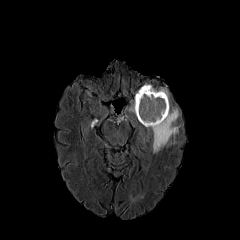
FLAIR MR image.
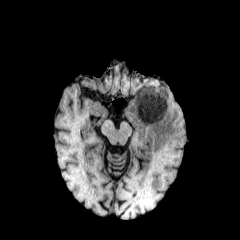
T1-weighted magnetic resonance.
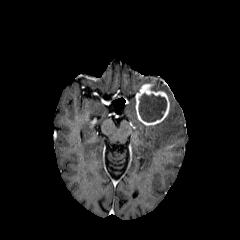
Post-contrast T1-weighted magnetic resonance of the same slice.
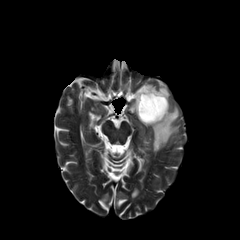
T2-weighted MRI.
Image size 240x240
The enhancing tumor is located at x1=135 y1=84 x2=169 y2=125. 3 peritumoral edema regions appear at x1=145 y1=104 x2=179 y2=152, x1=128 y1=99 x2=135 y2=113, x1=152 y1=87 x2=169 y2=97. The necrotic tumor core lies within x1=139 y1=94 x2=166 y2=121.